Head; Slice 63/155; Axial view
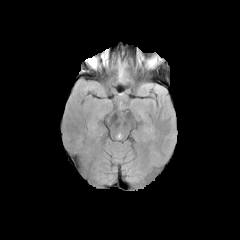
FLAIR MR image.
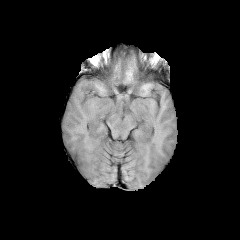
Same slice, T1-weighted MR.
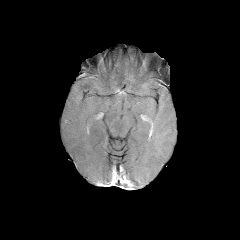
Post-contrast T1-weighted MR.
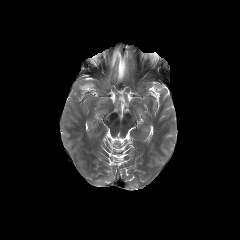
T2-weighted magnetic resonance of the same slice.
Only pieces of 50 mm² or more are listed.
Findings:
• peritumoral edema: rect(116, 58, 126, 81)